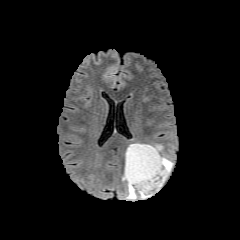
FLAIR MR.
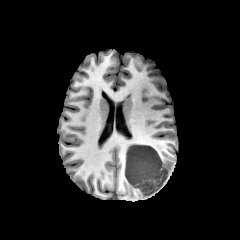
T1-weighted MR of the same slice.
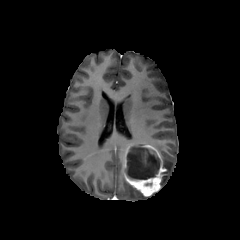
Same slice, post-contrast T1-weighted MR image.
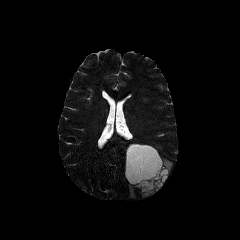
T2-weighted magnetic resonance.
Brain
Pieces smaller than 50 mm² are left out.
Findings:
- peritumoral edema: box(127, 183, 136, 199); box(161, 157, 173, 185)
- enhancing tumor: box(124, 144, 166, 196)
- necrotic tumor core: box(127, 146, 160, 179)